FLAIR MR.
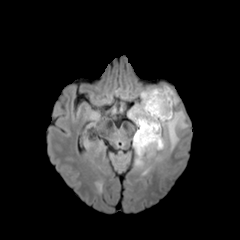
T1-weighted MRI.
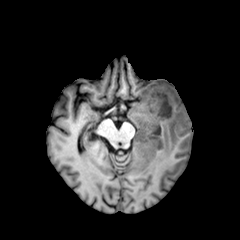
Post-contrast T1-weighted magnetic resonance.
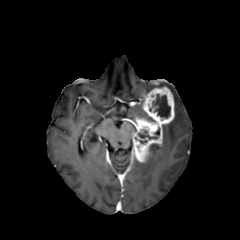
T2-weighted MR.
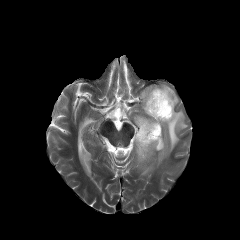
240x240.
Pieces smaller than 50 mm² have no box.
The 2 largest necrotic tumor core regions are located at box(138, 131, 157, 139); box(152, 94, 170, 117). The enhancing tumor appears at box(133, 86, 174, 162). The 4 largest peritumoral edema regions appear at box(135, 159, 145, 168); box(146, 110, 187, 161); box(142, 166, 151, 175); box(128, 85, 178, 122).